Image covers 240 mm x 240 mm. Head. Image size 240x240.
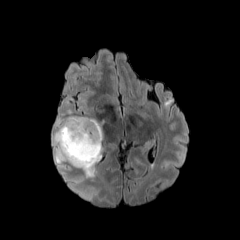
FLAIR MRI.
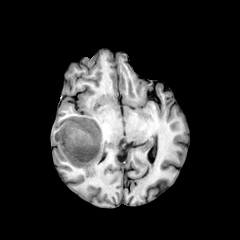
Same slice, T1-weighted magnetic resonance.
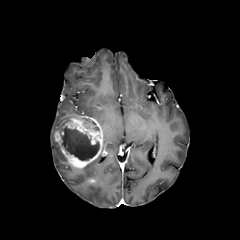
Post-contrast T1-weighted MR of the same slice.
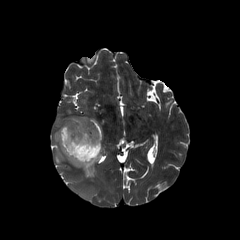
T2-weighted MRI.
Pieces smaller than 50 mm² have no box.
enhancing tumor: left=54, top=116, right=104, bottom=168 | necrotic tumor core: left=61, top=126, right=99, bottom=160 | peritumoral edema: left=83, top=155, right=101, bottom=177; left=53, top=135, right=66, bottom=163; left=55, top=116, right=75, bottom=131